Brain; Axial view
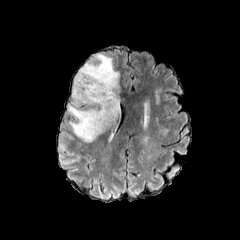
FLAIR MRI.
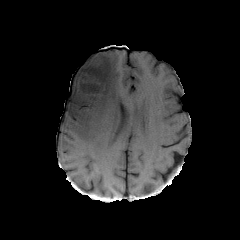
Same slice, T1-weighted MRI.
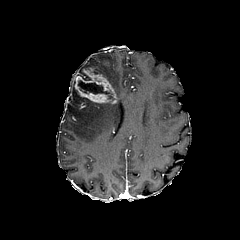
Post-contrast T1-weighted MR of the same slice.
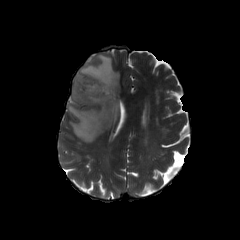
Same slice, T2-weighted MR.
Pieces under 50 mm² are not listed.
enhancing_tumor:
  - (left=74, top=67, right=117, bottom=103)
necrotic_tumor_core:
  - (left=77, top=80, right=113, bottom=99)
peritumoral_edema:
  - (left=67, top=53, right=120, bottom=142)